240x240; Head; Image width 240 mm, 1.00 mm slice spacing; Axial plane
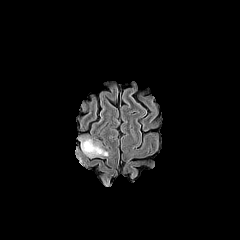
FLAIR MRI.
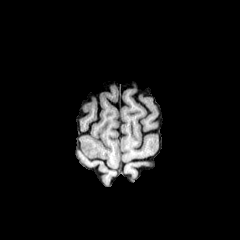
T1-weighted MR image of the same slice.
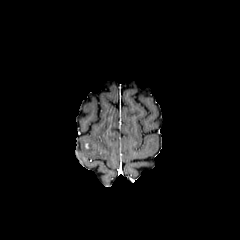
Post-contrast T1-weighted MR.
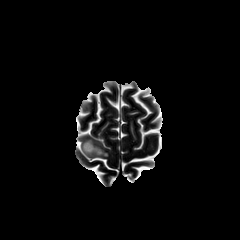
T2-weighted MR image.
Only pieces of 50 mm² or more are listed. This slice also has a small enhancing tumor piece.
peritumoral edema — <bbox>81, 139, 107, 156</bbox>